FLAIR MR image.
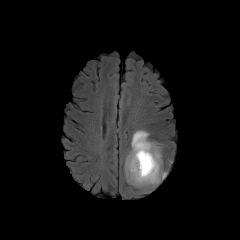
T1-weighted MR.
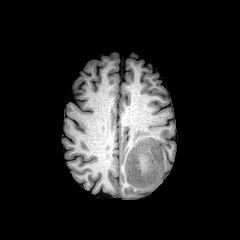
Post-contrast T1-weighted MRI.
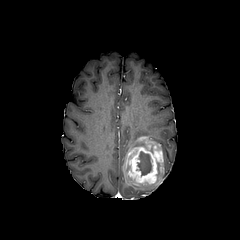
T2-weighted MRI.
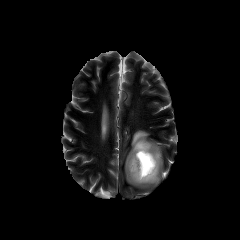
Head, Axial slice, Image size 240x240
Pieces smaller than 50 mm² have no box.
enhancing_tumor:
  - x1=124, y1=136, x2=163, y2=186
peritumoral_edema:
  - x1=131, y1=171, x2=166, y2=188
  - x1=130, y1=130, x2=149, y2=148
necrotic_tumor_core:
  - x1=137, y1=151, x2=151, y2=175